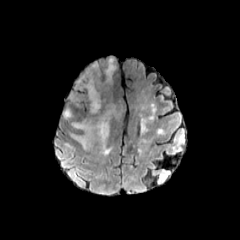
FLAIR MRI.
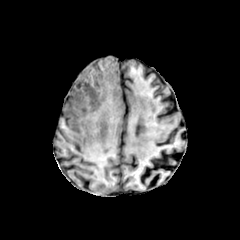
T1-weighted magnetic resonance.
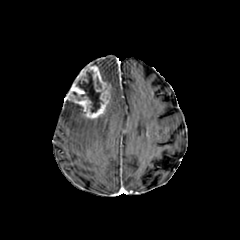
Post-contrast T1-weighted magnetic resonance.
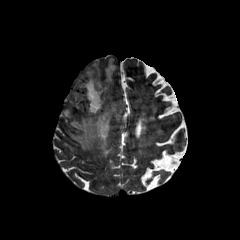
T2-weighted magnetic resonance.
Head
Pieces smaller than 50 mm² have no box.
- necrotic tumor core: bbox=[76, 71, 101, 112]
- peritumoral edema: bbox=[63, 108, 72, 117]; bbox=[105, 58, 115, 83]; bbox=[70, 108, 114, 154]
- enhancing tumor: bbox=[66, 64, 110, 118]